Head
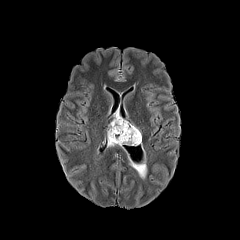
FLAIR MR image.
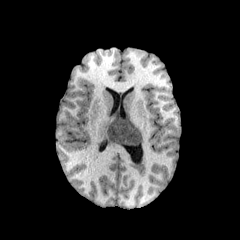
T1-weighted magnetic resonance.
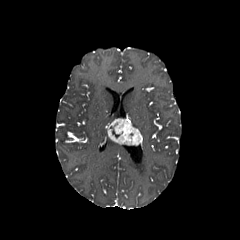
Post-contrast T1-weighted MR of the same slice.
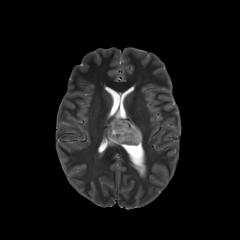
Same slice, T2-weighted magnetic resonance.
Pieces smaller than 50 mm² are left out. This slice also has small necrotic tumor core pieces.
{
  "enhancing_tumor": [
    "<bbox>107, 118, 142, 145</bbox>"
  ],
  "peritumoral_edema": [
    "<bbox>107, 134, 118, 146</bbox>"
  ]
}